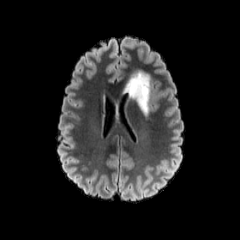
FLAIR MR image.
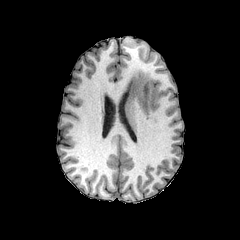
T1-weighted MR of the same slice.
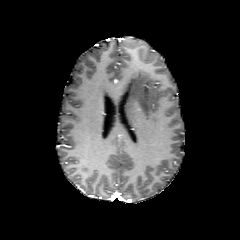
Same slice, post-contrast T1-weighted MR image.
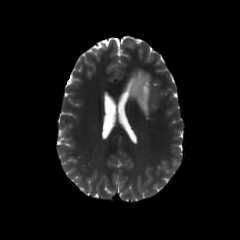
T2-weighted MRI.
Axial view; Head
Findings:
- peritumoral edema: <bbox>125, 71, 150, 115</bbox>